FLAIR MRI.
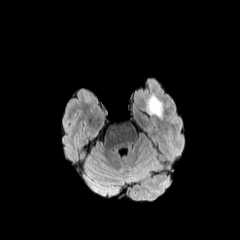
T1-weighted MR.
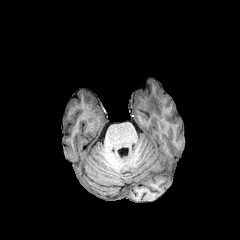
Post-contrast T1-weighted MRI.
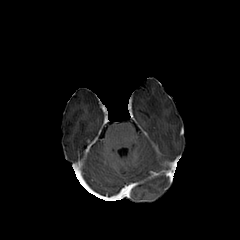
T2-weighted MR image.
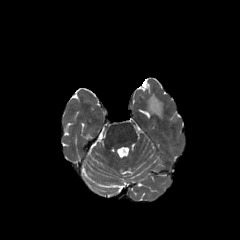
240x240 px, Axial view, Head
peritumoral edema: <bbox>147, 95, 162, 117</bbox>